Image size 240x240
FLAIR MR.
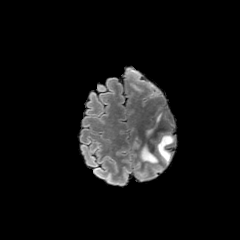
T1-weighted MRI.
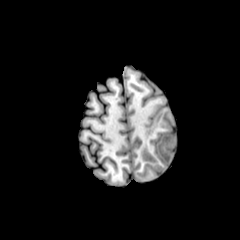
Post-contrast T1-weighted MR.
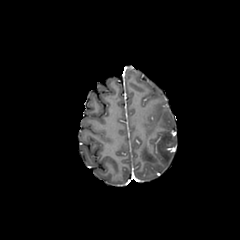
T2-weighted MR image.
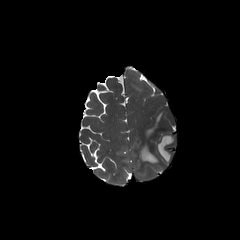
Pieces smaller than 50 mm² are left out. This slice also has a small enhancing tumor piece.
<segmentation>
  <peritumoral_edema>(left=140, top=146, right=158, bottom=163), (left=157, top=134, right=174, bottom=164)</peritumoral_edema>
</segmentation>